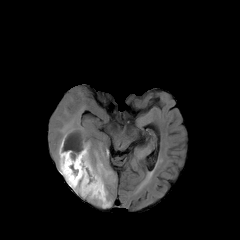
FLAIR MR image.
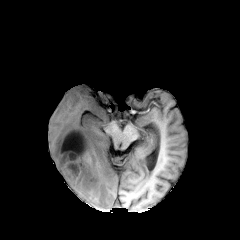
T1-weighted MR image.
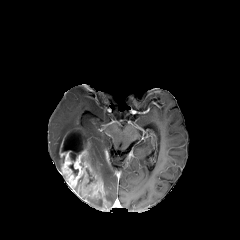
Same slice, post-contrast T1-weighted MR image.
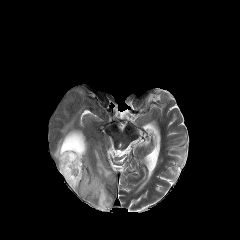
T2-weighted MR.
Axial plane. Image size 240x240. Brain.
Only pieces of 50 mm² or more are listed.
3 peritumoral edema regions are located at [x1=87, y1=198, x2=102, y2=208], [x1=89, y1=140, x2=115, y2=207], [x1=53, y1=116, x2=85, y2=170]. The enhancing tumor is located at [x1=59, y1=128, x2=109, y2=209]. The largest necrotic tumor core region lies within [x1=61, y1=130, x2=86, y2=160].